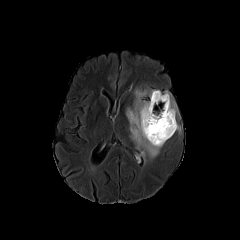
FLAIR MR image.
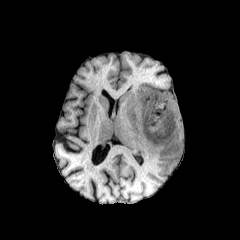
Same slice, T1-weighted magnetic resonance.
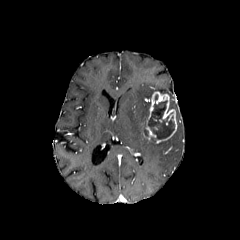
Post-contrast T1-weighted MRI of the same slice.
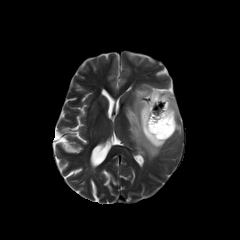
T2-weighted MR of the same slice.
Brain. Axial plane.
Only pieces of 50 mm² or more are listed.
The 2 largest peritumoral edema regions are located at <box>162,91,178,117</box>, <box>126,88,165,158</box>. The largest enhancing tumor region is located at <box>142,91,177,143</box>. The largest necrotic tumor core region is located at <box>148,100,174,139</box>.